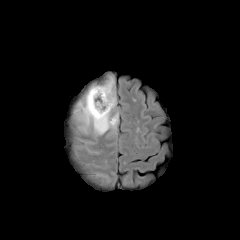
FLAIR MRI.
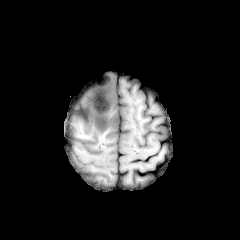
Same slice, T1-weighted magnetic resonance.
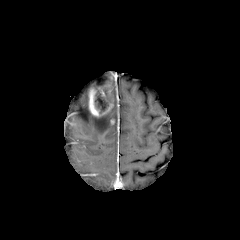
Post-contrast T1-weighted magnetic resonance of the same slice.
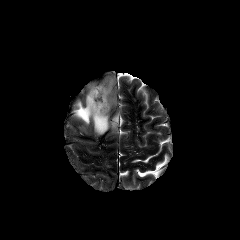
T2-weighted MRI of the same slice.
Brain.
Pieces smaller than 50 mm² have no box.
* peritumoral edema: [64,72,118,134]
* necrotic tumor core: [95,90,108,113]
* enhancing tumor: [88,78,113,117]